FLAIR MRI.
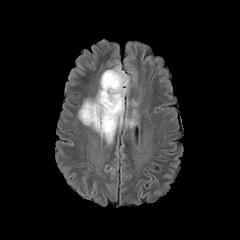
T1-weighted MRI.
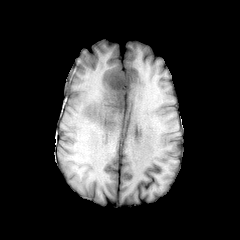
Post-contrast T1-weighted MRI.
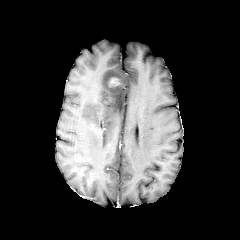
T2-weighted MR image.
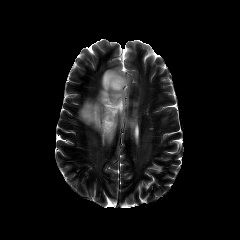
Brain; Axial slice; 240x240
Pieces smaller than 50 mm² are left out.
enhancing tumor = (108,76,123,88)
peritumoral edema = (78,62,137,143)